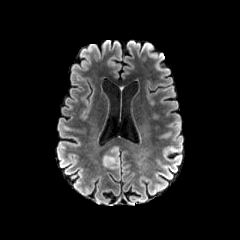
FLAIR magnetic resonance.
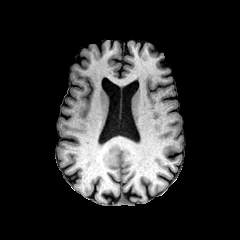
T1-weighted MR.
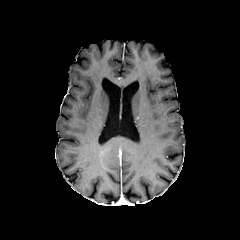
Post-contrast T1-weighted magnetic resonance.
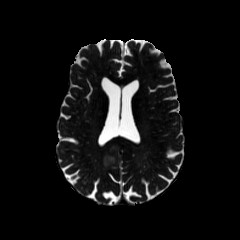
T2-weighted MR.
Axial view
{"peritumoral_edema": ["region(102, 143, 119, 168)"]}